FLAIR magnetic resonance.
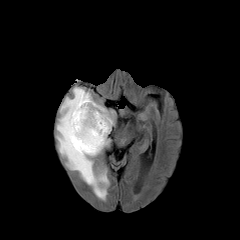
T1-weighted MR.
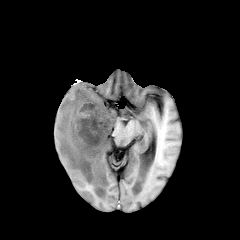
Post-contrast T1-weighted MR image.
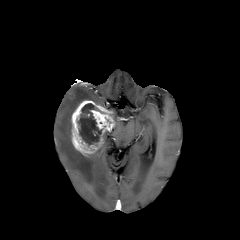
T2-weighted MR.
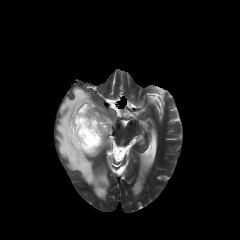
Head; Axial view
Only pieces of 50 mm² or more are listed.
{
  "enhancing_tumor": [
    "71:100:115:156"
  ],
  "necrotic_tumor_core": [
    "78:103:101:145"
  ],
  "peritumoral_edema": [
    "97:133:110:154",
    "56:86:109:199"
  ]
}